Axial slice; Slice 120 of 155
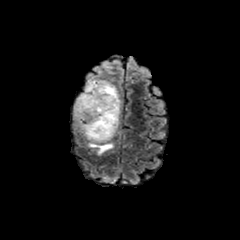
FLAIR magnetic resonance.
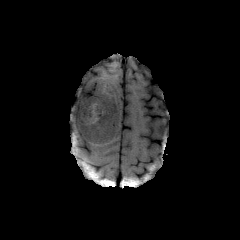
T1-weighted MRI.
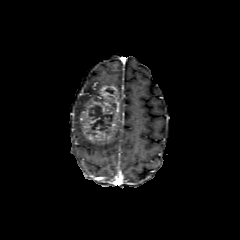
Same slice, post-contrast T1-weighted magnetic resonance.
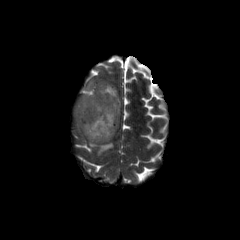
T2-weighted magnetic resonance.
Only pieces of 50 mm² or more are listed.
The 2 largest peritumoral edema regions appear at x1=76 y1=80 x2=111 y2=131, x1=88 y1=140 x2=113 y2=155. The largest enhancing tumor region is bounded by x1=79 y1=84 x2=120 y2=142. The largest necrotic tumor core region appears at x1=89 y1=105 x2=113 y2=130.